FLAIR MR image.
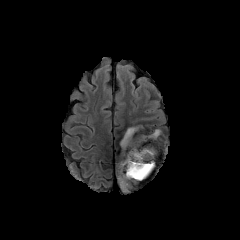
T1-weighted MR image.
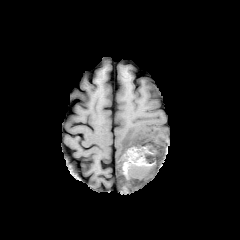
Post-contrast T1-weighted MRI.
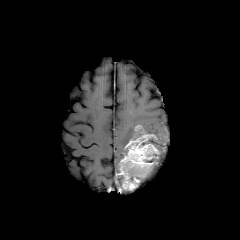
T2-weighted magnetic resonance.
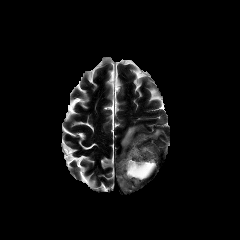
Axial plane | 240x240 px | Brain
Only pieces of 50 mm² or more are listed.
peritumoral edema = 152:129:161:139, 120:126:141:153
enhancing tumor = 118:132:159:190
necrotic tumor core = 128:165:154:180